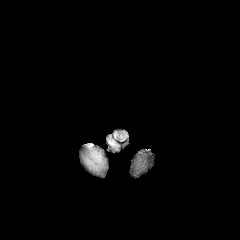
FLAIR MR image.
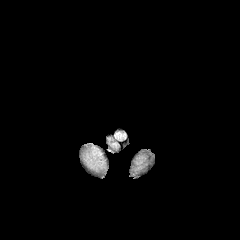
T1-weighted MR image.
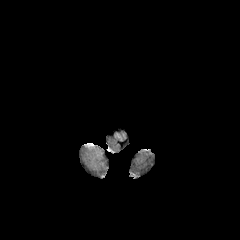
Same slice, post-contrast T1-weighted magnetic resonance.
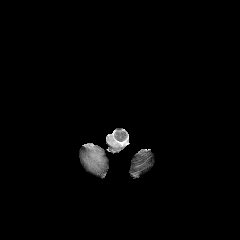
T2-weighted magnetic resonance.
Axial slice.
peritumoral edema: bounding box region(87, 148, 101, 166); region(108, 138, 117, 147)